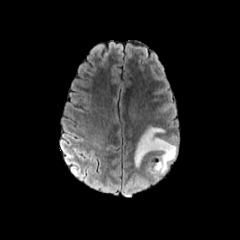
FLAIR MR image.
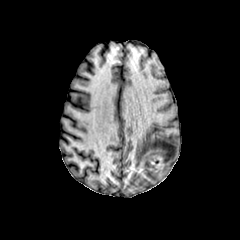
T1-weighted MR image.
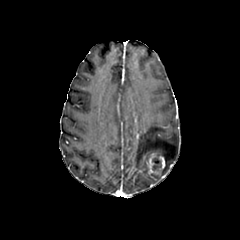
Post-contrast T1-weighted MR image.
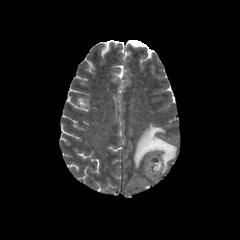
Same slice, T2-weighted MR.
240x240, Brain
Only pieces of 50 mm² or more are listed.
Segmented structures:
• enhancing tumor: (left=143, top=152, right=165, bottom=177)
• peritumoral edema: (left=134, top=126, right=177, bottom=175)
• necrotic tumor core: (left=152, top=156, right=161, bottom=170)